Brain. Axial slice.
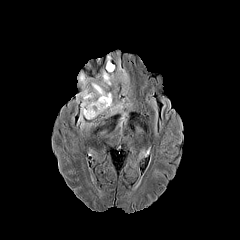
FLAIR magnetic resonance.
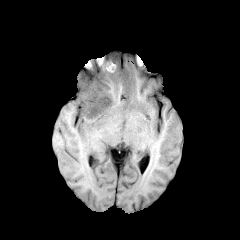
T1-weighted MRI.
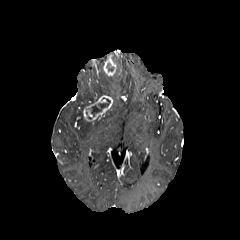
Same slice, post-contrast T1-weighted magnetic resonance.
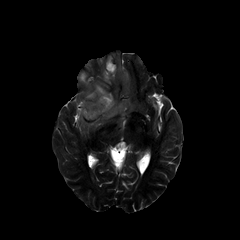
T2-weighted MR.
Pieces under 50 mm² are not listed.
Annotated regions:
* necrotic tumor core: x1=91 y1=99 x2=110 y2=116
* enhancing tumor: x1=103 y1=58 x2=116 y2=75, x1=83 y1=95 x2=113 y2=121
* peritumoral edema: x1=78 y1=50 x2=128 y2=129, x1=105 y1=101 x2=127 y2=127, x1=78 y1=73 x2=86 y2=86